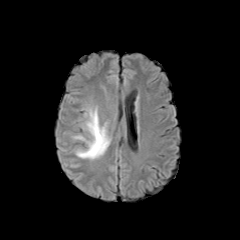
FLAIR MR image.
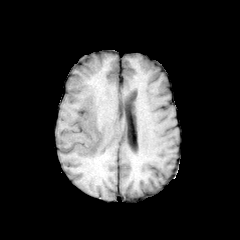
T1-weighted MR image.
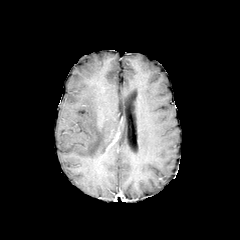
Post-contrast T1-weighted MR image.
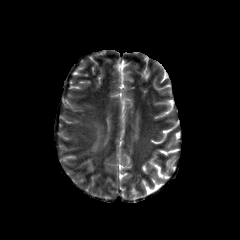
Same slice, T2-weighted MR.
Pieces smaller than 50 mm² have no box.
The largest peritumoral edema region lies within (x1=76, y1=108, x2=109, y2=159).